Slice 64 of 155 | 240x240 px | Brain
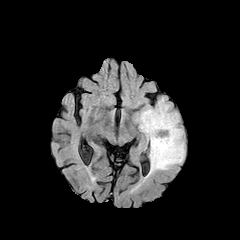
FLAIR magnetic resonance.
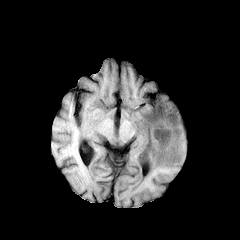
T1-weighted magnetic resonance of the same slice.
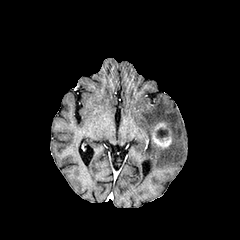
Post-contrast T1-weighted MR.
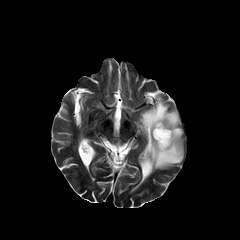
T2-weighted MR of the same slice.
<segmentation>
  <enhancing_tumor>[x1=152, y1=122, x2=171, y2=148]</enhancing_tumor>
  <necrotic_tumor_core>[x1=156, y1=128, x2=168, y2=138]</necrotic_tumor_core>
  <peritumoral_edema>[x1=136, y1=97, x2=184, y2=176]</peritumoral_edema>
</segmentation>